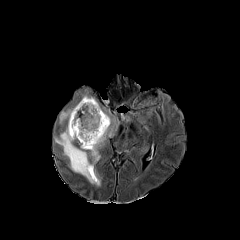
FLAIR magnetic resonance.
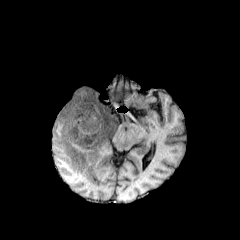
Same slice, T1-weighted MRI.
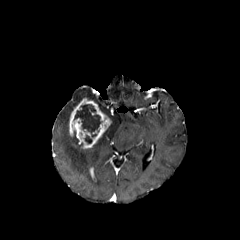
Same slice, post-contrast T1-weighted MRI.
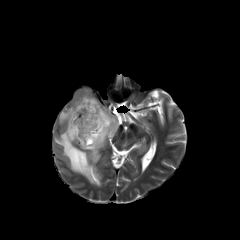
Same slice, T2-weighted magnetic resonance.
Axial slice, 240x240 px
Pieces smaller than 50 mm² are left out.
{
  "peritumoral_edema": [
    "(54, 103, 118, 186)",
    "(82, 92, 98, 104)"
  ],
  "enhancing_tumor": [
    "(90, 167, 96, 182)",
    "(69, 97, 111, 149)"
  ],
  "necrotic_tumor_core": [
    "(74, 104, 101, 137)"
  ]
}